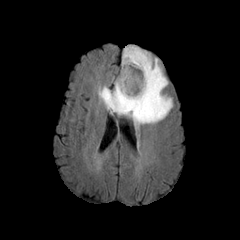
FLAIR MRI.
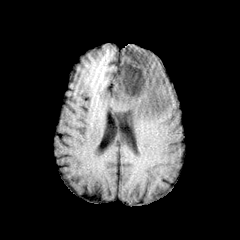
T1-weighted MR.
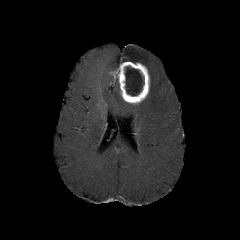
Post-contrast T1-weighted MR of the same slice.
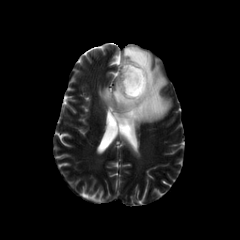
T2-weighted MR image.
Head.
enhancing tumor — <box>113,61,150,103</box>
peritumoral edema — <box>98,45,172,128</box>
necrotic tumor core — <box>125,66,143,95</box>